Head
FLAIR MR.
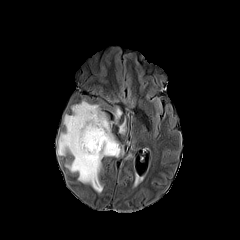
T1-weighted MRI.
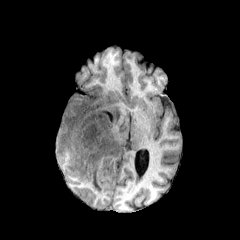
Post-contrast T1-weighted MR image.
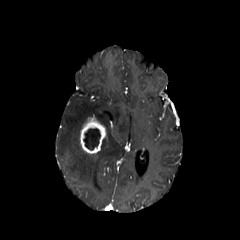
T2-weighted MR.
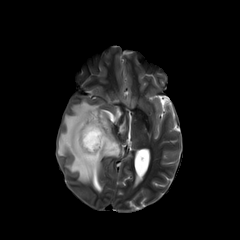
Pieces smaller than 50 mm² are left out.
{
  "enhancing_tumor": [
    "bbox(80, 115, 106, 154)"
  ],
  "peritumoral_edema": [
    "bbox(119, 120, 125, 133)",
    "bbox(57, 99, 123, 192)",
    "bbox(114, 107, 121, 123)"
  ],
  "necrotic_tumor_core": [
    "bbox(83, 128, 100, 150)"
  ]
}